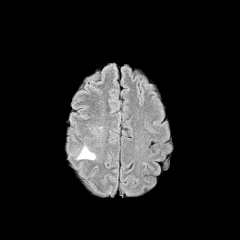
FLAIR MR.
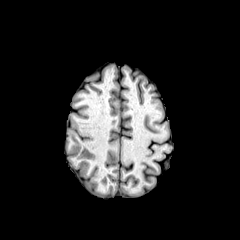
T1-weighted MR image.
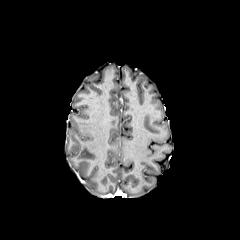
Post-contrast T1-weighted MR of the same slice.
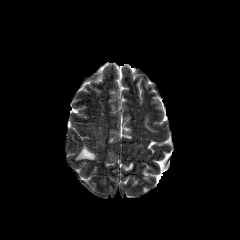
T2-weighted magnetic resonance.
Axial plane, Image size 240x240, Head
peritumoral edema at bbox(77, 146, 95, 159)